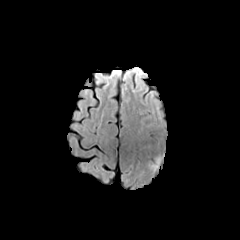
FLAIR MR image.
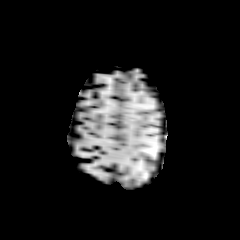
T1-weighted magnetic resonance.
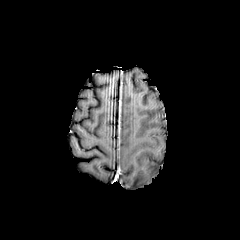
Post-contrast T1-weighted magnetic resonance of the same slice.
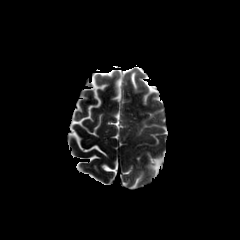
Same slice, T2-weighted MR image.
peritumoral_edema:
  - <bbox>150, 158, 161, 171</bbox>